Head.
FLAIR MR image.
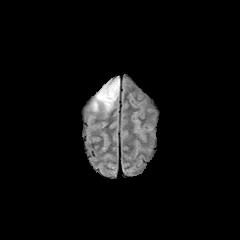
T1-weighted MRI.
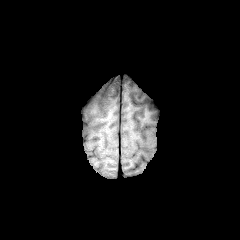
Post-contrast T1-weighted magnetic resonance.
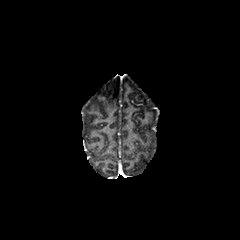
T2-weighted magnetic resonance.
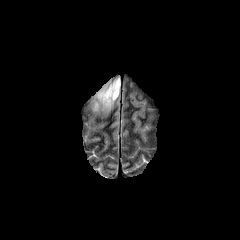
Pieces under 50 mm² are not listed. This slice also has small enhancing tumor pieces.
peritumoral edema at 92 78 119 111